240x240 px, Head, Axial view, Slice index 50
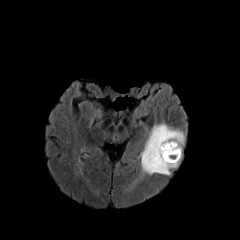
FLAIR MR image.
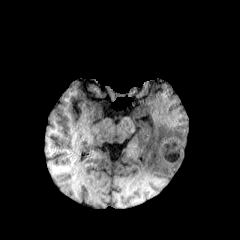
T1-weighted MR.
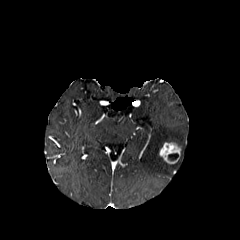
Post-contrast T1-weighted magnetic resonance.
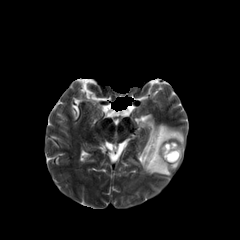
Same slice, T2-weighted MR image.
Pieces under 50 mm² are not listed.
Segmented structures:
- enhancing tumor: <box>159,142,181,163</box>
- necrotic tumor core: <box>168,153,178,161</box>
- peritumoral edema: <box>141,123,184,175</box>